FLAIR MR.
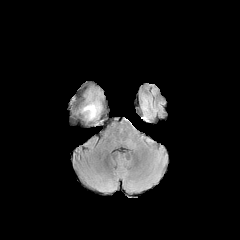
T1-weighted magnetic resonance.
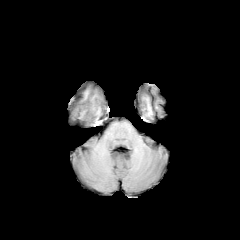
Post-contrast T1-weighted MR image.
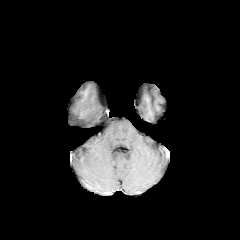
T2-weighted MR image.
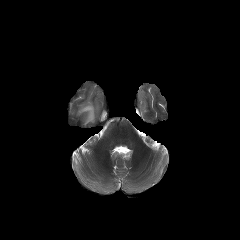
Brain; 240x240 px
{"peritumoral_edema": ["(80, 102, 100, 121)"]}